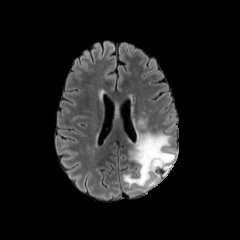
FLAIR magnetic resonance.
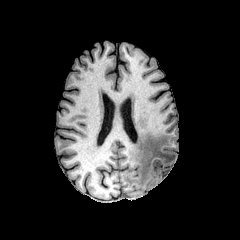
T1-weighted magnetic resonance of the same slice.
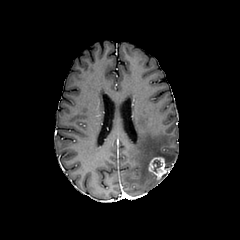
Post-contrast T1-weighted magnetic resonance.
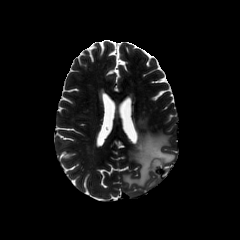
T2-weighted MRI.
Head; Image size 240x240
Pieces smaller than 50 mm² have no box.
- necrotic tumor core: 153,160,161,171
- enhancing tumor: 148,156,170,179
- peritumoral edema: 138,119,146,128; 123,130,175,188